FLAIR MR.
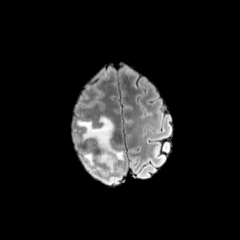
T1-weighted MRI.
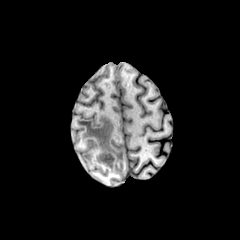
Post-contrast T1-weighted magnetic resonance.
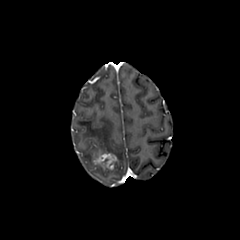
T2-weighted MR image.
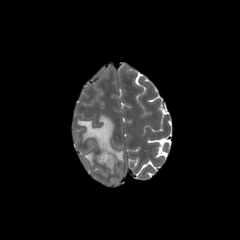
240x240 px | Axial slice | Head
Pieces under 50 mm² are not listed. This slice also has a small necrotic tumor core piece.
peritumoral edema: bounding box <bbox>85, 153, 95, 165</bbox>, <bbox>77, 115, 123, 175</bbox>
enhancing tumor: bounding box <bbox>93, 152, 117, 170</bbox>